Brain, 240x240 px
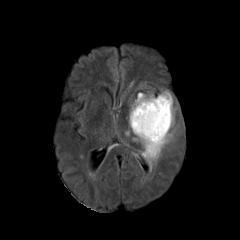
FLAIR MRI.
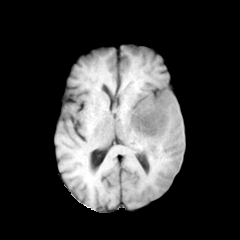
T1-weighted MR of the same slice.
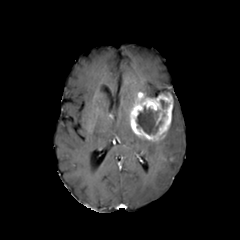
Same slice, post-contrast T1-weighted MRI.
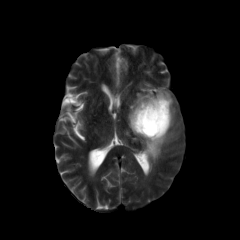
T2-weighted magnetic resonance of the same slice.
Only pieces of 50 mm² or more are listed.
necrotic tumor core — 136 106 162 134
enhancing tumor — 130 92 173 141
peritumoral edema — 133 107 176 170